FLAIR MR.
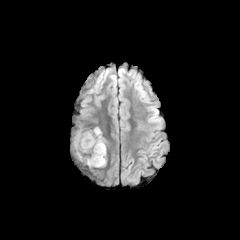
T1-weighted MR image.
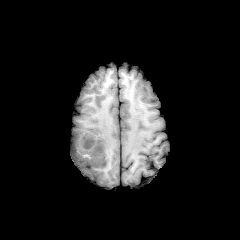
Post-contrast T1-weighted MR image.
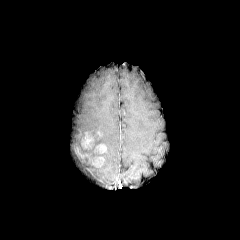
T2-weighted MR.
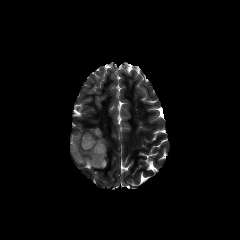
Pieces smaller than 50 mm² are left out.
The 3 largest peritumoral edema regions appear at bbox=[93, 127, 104, 149]; bbox=[74, 133, 84, 149]; bbox=[78, 146, 106, 167]. The 3 largest enhancing tumor regions are located at bbox=[93, 143, 106, 154]; bbox=[81, 132, 94, 149]; bbox=[89, 157, 104, 167].